Image width 240 mm, 1.00 mm slice spacing | Axial slice
FLAIR magnetic resonance.
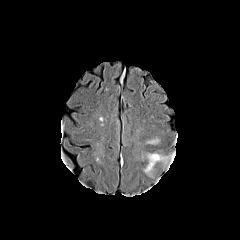
T1-weighted MR.
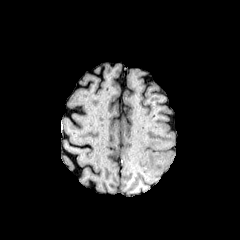
Post-contrast T1-weighted MR.
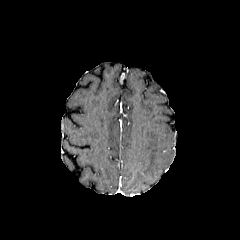
T2-weighted magnetic resonance.
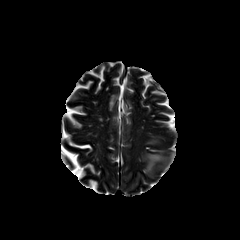
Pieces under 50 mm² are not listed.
<segmentation>
  <peritumoral_edema>(144,154,167,173)</peritumoral_edema>
</segmentation>